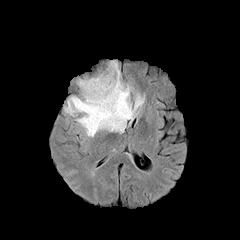
FLAIR MRI.
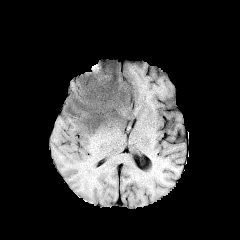
T1-weighted magnetic resonance.
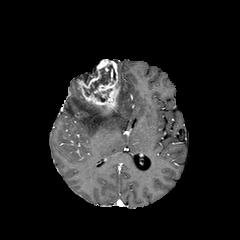
Post-contrast T1-weighted MR image.
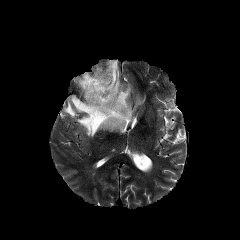
T2-weighted magnetic resonance.
240x240 px | Brain
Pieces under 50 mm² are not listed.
Findings:
* peritumoral edema: 64:66:144:136
* necrotic tumor core: 83:65:115:96, 94:94:106:101, 82:76:91:85
* enhancing tumor: 77:59:120:114